Slice index 45; 240x240
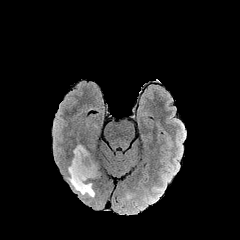
FLAIR magnetic resonance.
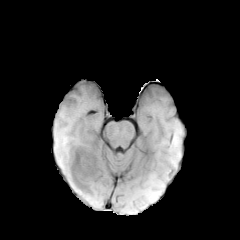
T1-weighted MR image of the same slice.
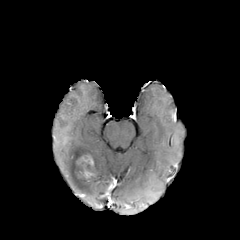
Same slice, post-contrast T1-weighted MR image.
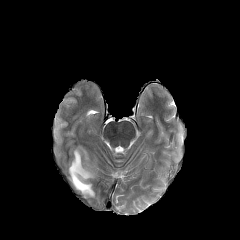
T2-weighted MR.
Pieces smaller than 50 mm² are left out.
peritumoral_edema:
  - 68,145,96,197
necrotic_tumor_core:
  - 75,160,93,178
enhancing_tumor:
  - 82,170,94,179
  - 76,155,94,167